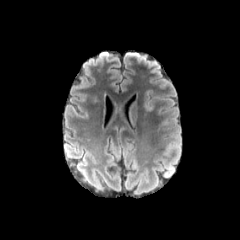
FLAIR MRI.
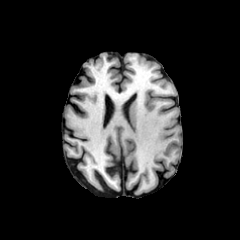
Same slice, T1-weighted MR image.
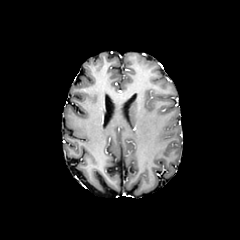
Post-contrast T1-weighted MR.
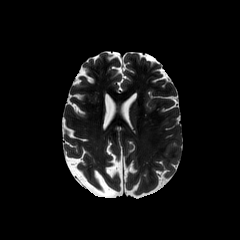
T2-weighted MRI.
Axial plane
<segmentation>
  <peritumoral_edema>box=[144, 89, 153, 111]</peritumoral_edema>
</segmentation>